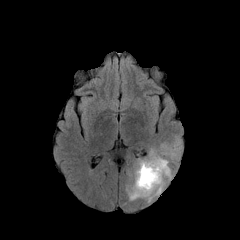
FLAIR MR.
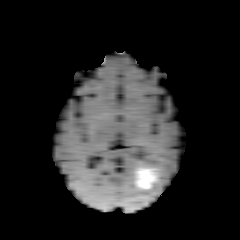
Same slice, T1-weighted MRI.
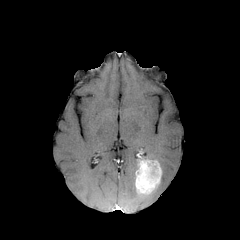
Same slice, post-contrast T1-weighted magnetic resonance.
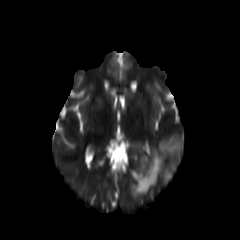
T2-weighted MR of the same slice.
Axial view | Head
The peritumoral edema is at [126,135,183,201]. The enhancing tumor lies within [135,158,162,194].